FLAIR MRI.
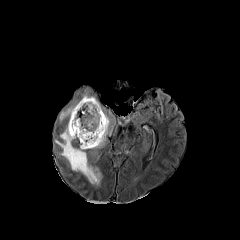
T1-weighted MR.
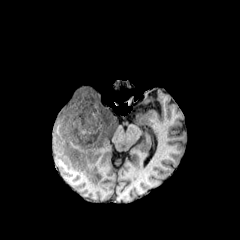
Post-contrast T1-weighted MRI.
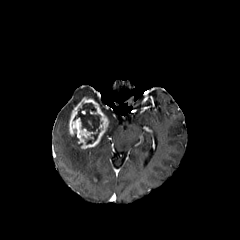
T2-weighted magnetic resonance.
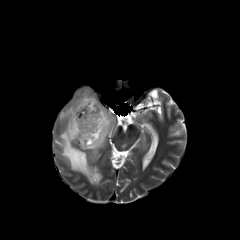
240x240 px
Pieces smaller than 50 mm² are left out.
enhancing tumor at box(69, 97, 109, 149)
peritumoral edema at box(88, 105, 115, 154); box(59, 100, 79, 121); box(55, 121, 101, 185); box(82, 88, 97, 101)
necrotic tumor core at box(73, 103, 100, 144)